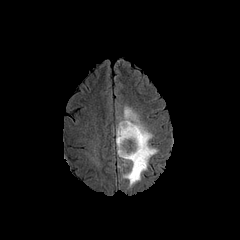
FLAIR MR image.
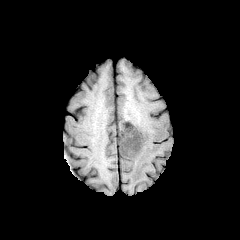
T1-weighted MR image.
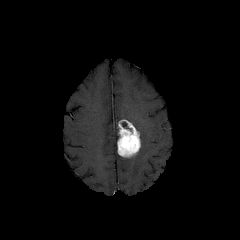
Post-contrast T1-weighted magnetic resonance.
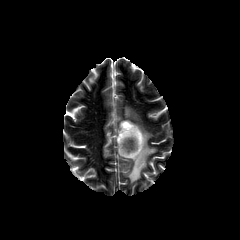
T2-weighted MRI.
Axial slice. Head.
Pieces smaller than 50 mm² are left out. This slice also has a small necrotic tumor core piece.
The largest peritumoral edema region is at left=120, top=106, right=157, bottom=186. The enhancing tumor lies within left=117, top=119, right=140, bottom=158.